Slice 135/155, 240x240 px
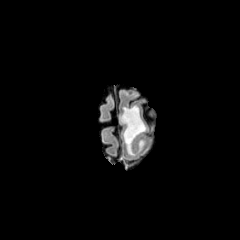
FLAIR MR.
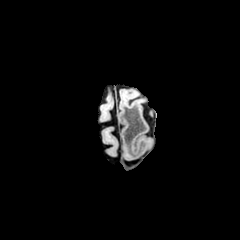
Same slice, T1-weighted MR image.
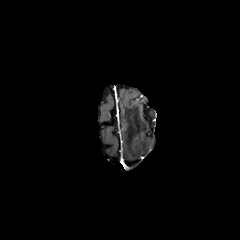
Post-contrast T1-weighted MR image.
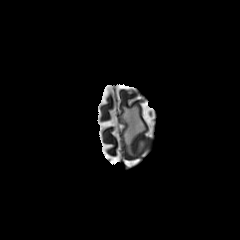
Same slice, T2-weighted magnetic resonance.
Findings:
* peritumoral edema: x1=120, y1=105, x2=146, y2=155; x1=138, y1=140, x2=146, y2=152